Head. Image covers 240 mm x 240 mm.
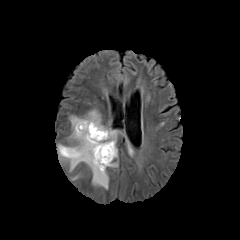
FLAIR MR.
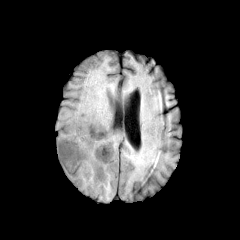
T1-weighted MR image of the same slice.
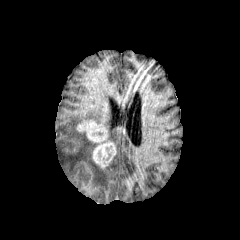
Same slice, post-contrast T1-weighted MRI.
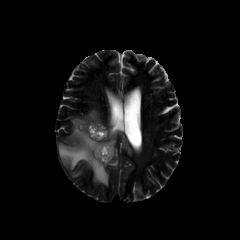
T2-weighted magnetic resonance of the same slice.
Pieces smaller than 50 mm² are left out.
The largest enhancing tumor region is bounded by [77,120,116,168]. The 2 largest peritumoral edema regions appear at [104,126,118,146], [57,109,118,188].